Slice 107 of 155
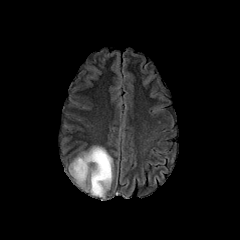
FLAIR magnetic resonance.
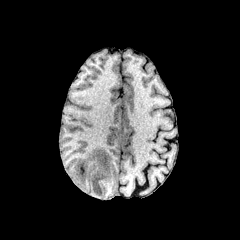
T1-weighted MR image.
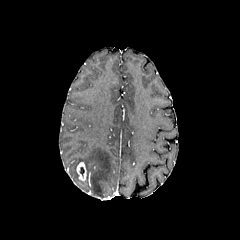
Post-contrast T1-weighted MRI.
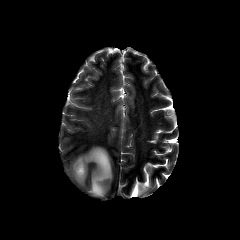
Same slice, T2-weighted MRI.
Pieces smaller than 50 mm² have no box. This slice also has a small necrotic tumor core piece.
{"enhancing_tumor": ["region(76, 162, 86, 181)"], "peritumoral_edema": ["region(69, 146, 112, 197)"]}